FLAIR MR image.
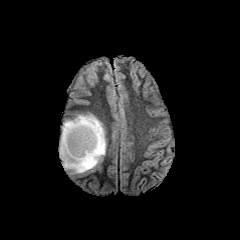
T1-weighted MR.
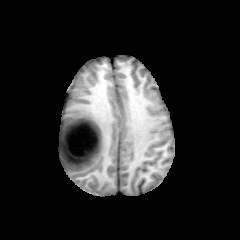
Post-contrast T1-weighted magnetic resonance.
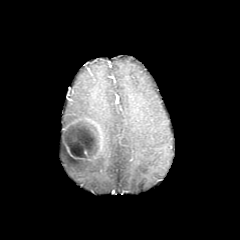
T2-weighted MR image.
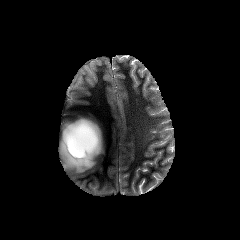
Head
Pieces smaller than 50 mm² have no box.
enhancing_tumor:
  - x1=61, y1=119, x2=101, y2=160
peritumoral_edema:
  - x1=59, y1=114, x2=106, y2=174
necrotic_tumor_core:
  - x1=63, y1=121, x2=99, y2=158